Axial view. Slice index 74. Head.
FLAIR MRI.
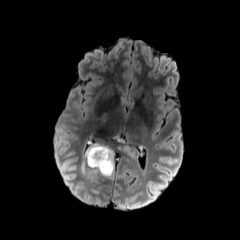
T1-weighted MR.
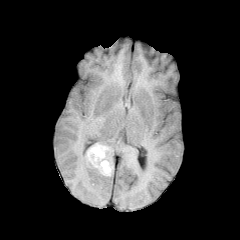
Post-contrast T1-weighted MR.
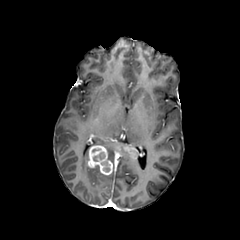
T2-weighted MR image.
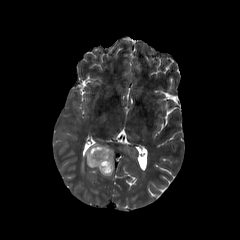
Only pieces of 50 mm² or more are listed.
peritumoral edema: <box>81,147,100,180</box>, <box>90,141,114,170</box> | enhancing tumor: <box>87,145,112,175</box>, <box>123,146,138,158</box> | necrotic tumor core: <box>101,161,109,172</box>, <box>93,152,104,161</box>